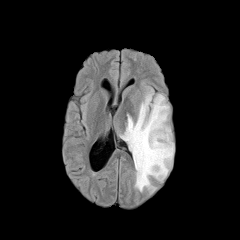
FLAIR MR.
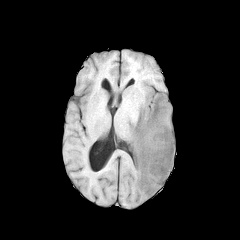
T1-weighted magnetic resonance.
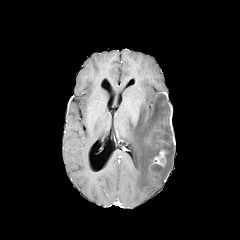
Post-contrast T1-weighted MR.
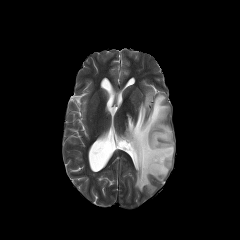
T2-weighted magnetic resonance.
Head, 240x240 px
Findings:
- enhancing tumor: (x1=153, y1=150, x2=165, y2=166)
- peritumoral edema: (x1=120, y1=90, x2=174, y2=193)